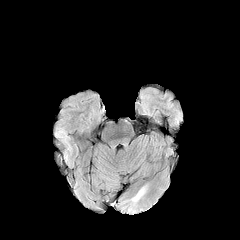
FLAIR magnetic resonance.
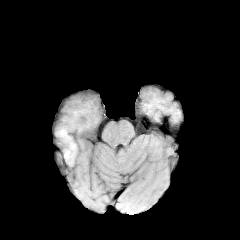
T1-weighted magnetic resonance.
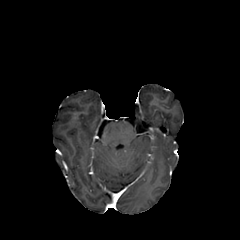
Same slice, post-contrast T1-weighted MR.
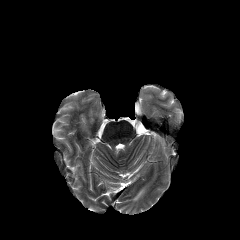
T2-weighted magnetic resonance.
Head, Axial plane, 240x240
peritumoral edema: x1=133 y1=189 x2=143 y2=200